Slice index 72, Head
FLAIR MRI.
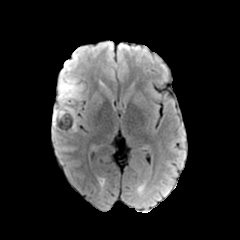
T1-weighted magnetic resonance.
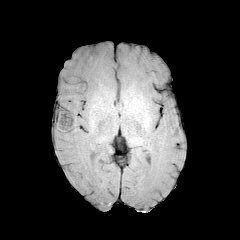
Post-contrast T1-weighted MR.
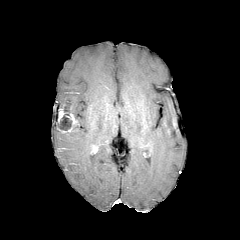
T2-weighted MR.
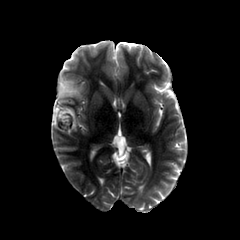
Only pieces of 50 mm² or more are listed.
peritumoral edema at (x1=52, y1=77, x2=84, y2=130)
enhancing tumor at (x1=58, y1=108, x2=68, y2=123), (x1=57, y1=113, x2=77, y2=134)
necrotic tumor core at (x1=57, y1=114, x2=71, y2=130)